FLAIR MR.
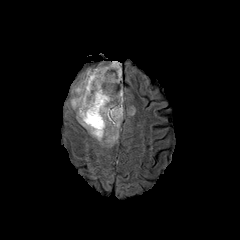
T1-weighted MRI.
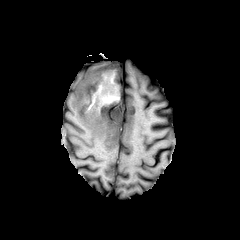
Post-contrast T1-weighted MRI.
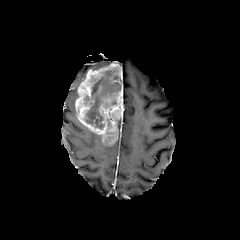
T2-weighted magnetic resonance.
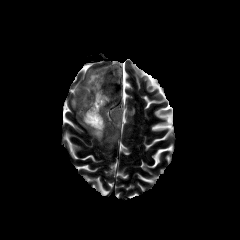
Axial plane, Head, 240x240 px
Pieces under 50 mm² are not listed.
* enhancing tumor: l=75, t=61, r=124, b=145
* peritumoral edema: l=70, t=80, r=82, b=110; l=78, t=120, r=104, b=144
* necrotic tumor core: l=86, t=70, r=120, b=128